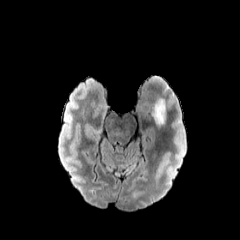
FLAIR MRI.
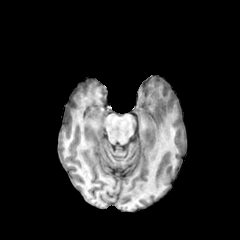
Same slice, T1-weighted MR image.
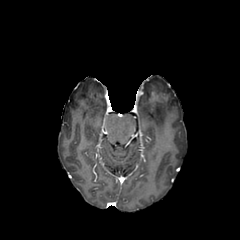
Post-contrast T1-weighted MR image of the same slice.
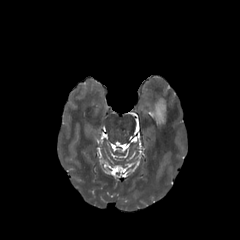
T2-weighted MR image.
Head. Axial plane.
The peritumoral edema is bounded by {"x1": 152, "y1": 98, "x2": 165, "y2": 125}.